FLAIR magnetic resonance.
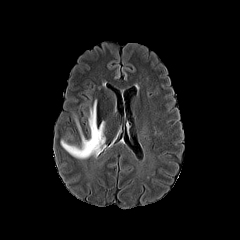
T1-weighted magnetic resonance.
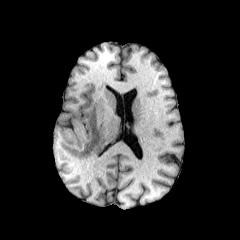
Post-contrast T1-weighted magnetic resonance.
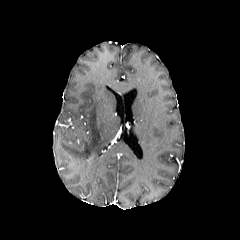
T2-weighted MRI.
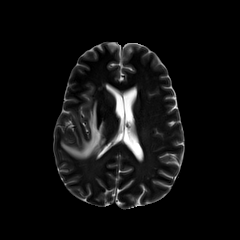
Axial view
Findings:
• peritumoral edema: left=61, top=100, right=105, bottom=159